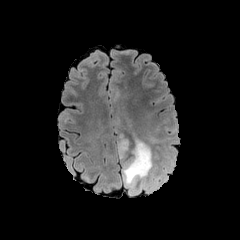
FLAIR MR image.
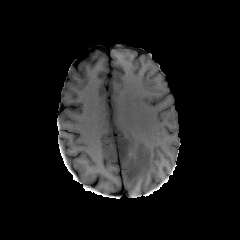
T1-weighted magnetic resonance.
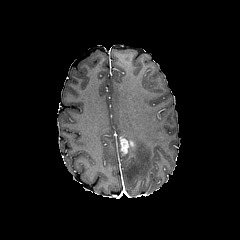
Post-contrast T1-weighted MR.
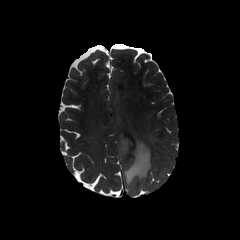
T2-weighted MR.
Head
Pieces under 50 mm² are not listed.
enhancing tumor: left=119, top=136, right=133, bottom=154 | peritumoral edema: left=117, top=139, right=163, bottom=194